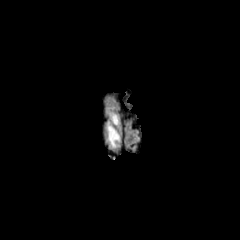
FLAIR MR image.
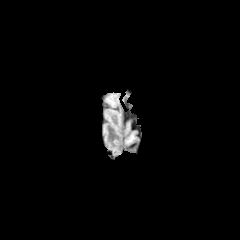
T1-weighted MRI.
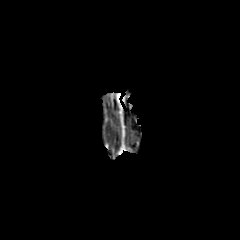
Same slice, post-contrast T1-weighted MR.
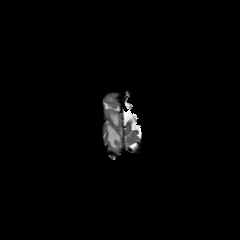
Same slice, T2-weighted MRI.
Head. 240x240 px.
peritumoral_edema:
  - box=[105, 109, 120, 148]